FLAIR magnetic resonance.
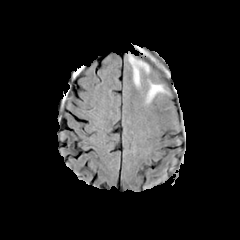
T1-weighted MR image.
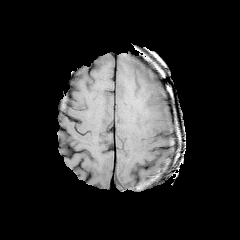
Post-contrast T1-weighted MR.
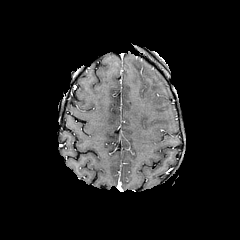
T2-weighted MRI.
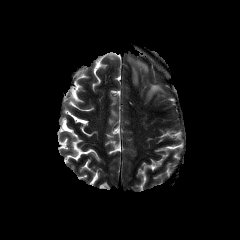
Head. 240x240 px.
Findings:
* peritumoral edema: x1=129, y1=56, x2=148, y2=85; x1=147, y1=84, x2=163, y2=101